FLAIR magnetic resonance.
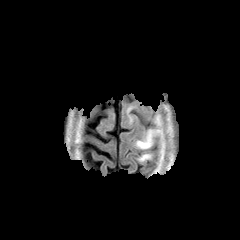
T1-weighted magnetic resonance.
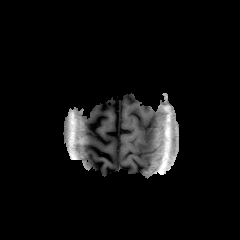
Post-contrast T1-weighted MR image.
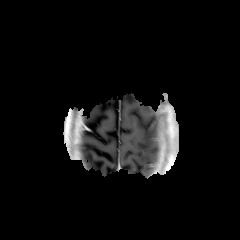
T2-weighted magnetic resonance.
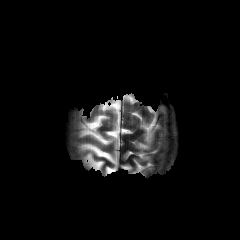
peritumoral edema: x1=136, y1=129, x2=154, y2=149; x1=140, y1=154, x2=150, y2=161